Slice index 91 | Head
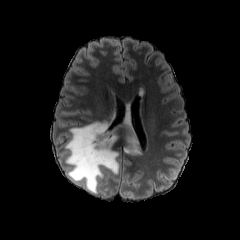
FLAIR MR image.
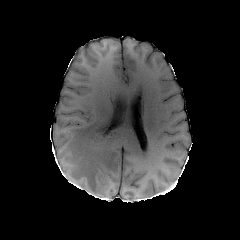
T1-weighted MR image.
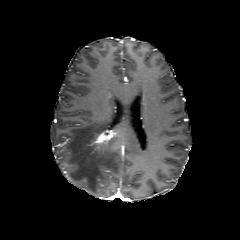
Post-contrast T1-weighted MR of the same slice.
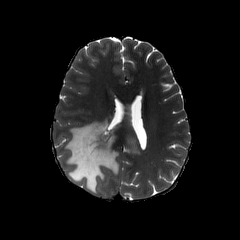
T2-weighted magnetic resonance.
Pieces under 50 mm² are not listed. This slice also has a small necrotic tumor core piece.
peritumoral edema at [x1=65, y1=112, x2=119, y2=193], [x1=124, y1=136, x2=139, y2=153]
enhancing tumor at [x1=92, y1=130, x2=117, y2=145]